FLAIR MR.
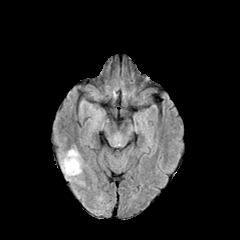
T1-weighted MR image.
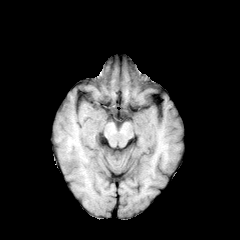
Post-contrast T1-weighted magnetic resonance.
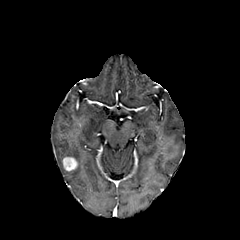
T2-weighted MR image.
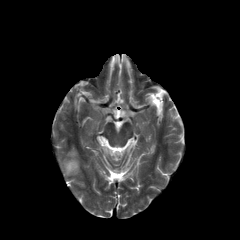
Head
enhancing tumor: bounding box [63, 157, 77, 171]
peritumoral edema: bounding box [59, 148, 81, 180]